FLAIR MR image.
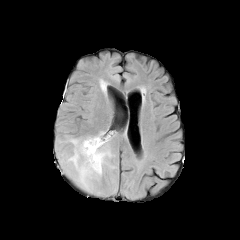
T1-weighted MR.
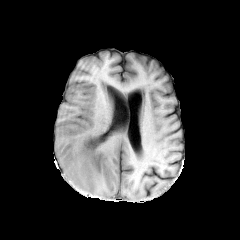
Post-contrast T1-weighted MRI.
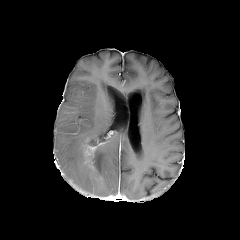
T2-weighted MRI.
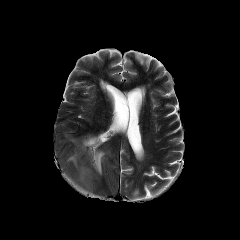
Head
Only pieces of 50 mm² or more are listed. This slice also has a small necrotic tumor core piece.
The largest peritumoral edema region is located at <box>67,138,110,186</box>. The enhancing tumor is located at <box>82,136,104,169</box>.